Image size 240x240
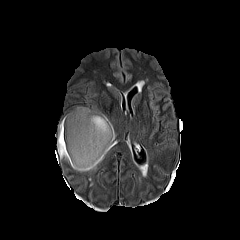
FLAIR MR.
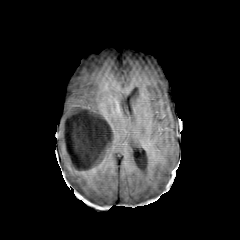
T1-weighted MR image.
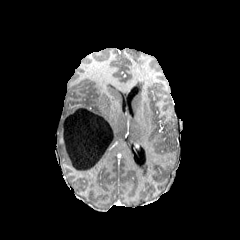
Same slice, post-contrast T1-weighted MRI.
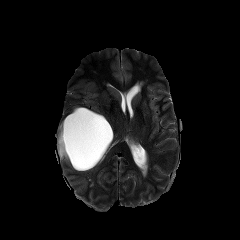
T2-weighted MR image.
necrotic tumor core — x1=62 y1=108 x2=113 y2=169
peritumoral edema — x1=57 y1=106 x2=115 y2=171